FLAIR MR image.
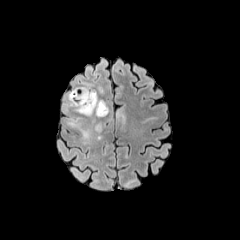
T1-weighted magnetic resonance.
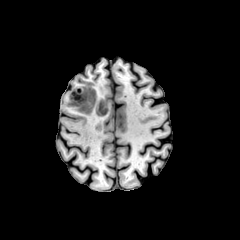
Post-contrast T1-weighted MR.
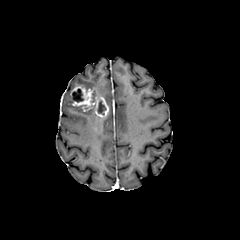
T2-weighted MR image.
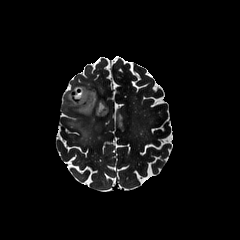
240x240
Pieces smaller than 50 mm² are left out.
- necrotic tumor core: x1=72 y1=88 x2=83 y2=102, x1=97 y1=100 x2=106 y2=114
- peritumoral edema: x1=91 y1=119 x2=103 y2=139, x1=65 y1=92 x2=94 y2=116, x1=68 y1=119 x2=91 y2=144
- enhancing tumor: x1=70 y1=86 x2=109 y2=117